Head. Axial slice.
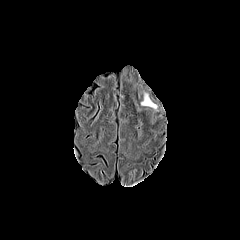
FLAIR magnetic resonance.
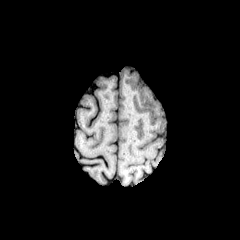
T1-weighted MRI.
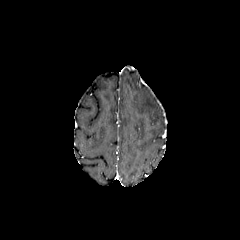
Same slice, post-contrast T1-weighted magnetic resonance.
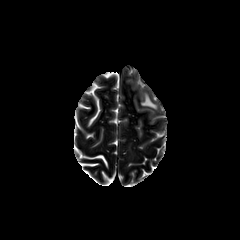
Same slice, T2-weighted MRI.
Findings:
* peritumoral edema: bbox=[141, 94, 156, 108]